FLAIR MRI.
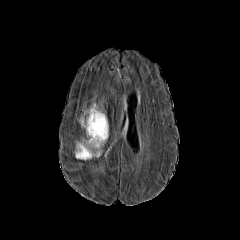
T1-weighted MR image.
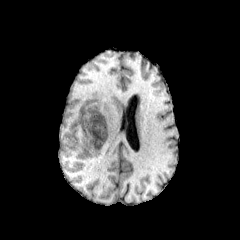
Post-contrast T1-weighted MRI.
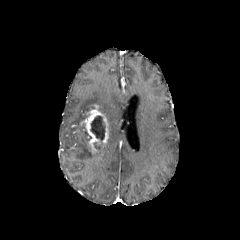
T2-weighted MR.
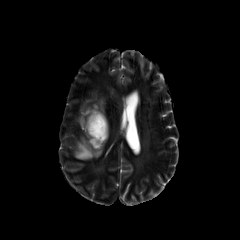
Head
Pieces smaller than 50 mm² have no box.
peritumoral edema: [74, 136, 102, 160] | necrotic tumor core: [90, 116, 105, 140] | enhancing tumor: [80, 105, 108, 153]